FLAIR MR image.
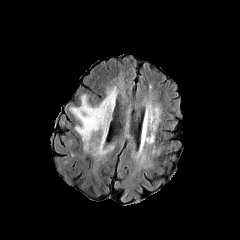
T1-weighted magnetic resonance.
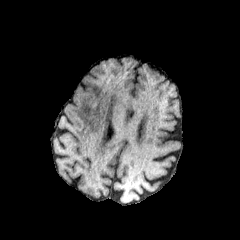
Post-contrast T1-weighted MRI.
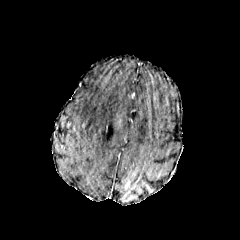
T2-weighted MRI.
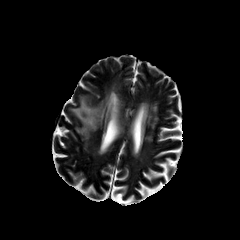
Head. Axial slice.
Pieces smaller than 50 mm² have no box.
<segmentation>
  <peritumoral_edema>box(70, 86, 118, 156)</peritumoral_edema>
</segmentation>